Image covers 240 mm x 240 mm, Slice 71/155, Axial view
FLAIR magnetic resonance.
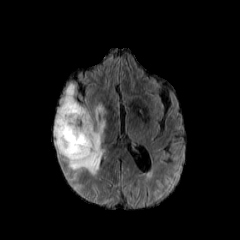
T1-weighted magnetic resonance.
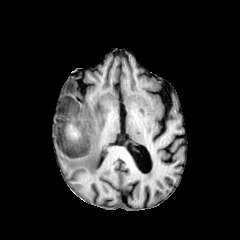
Post-contrast T1-weighted MRI.
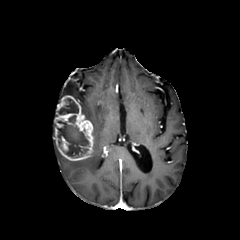
T2-weighted MRI.
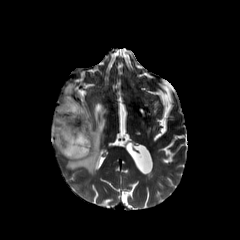
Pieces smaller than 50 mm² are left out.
peritumoral edema: [x1=66, y1=104, x2=106, y2=175], [x1=64, y1=83, x2=75, y2=96] | enhancing tumor: [x1=54, y1=95, x2=93, y2=160] | necrotic tumor core: [x1=58, y1=98, x2=78, y2=114], [x1=57, y1=121, x2=88, y2=157]